Axial view, Slice index 111
FLAIR magnetic resonance.
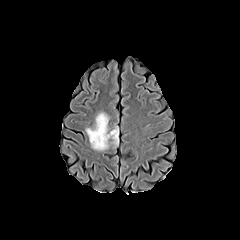
T1-weighted magnetic resonance.
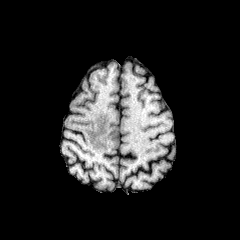
Post-contrast T1-weighted MR.
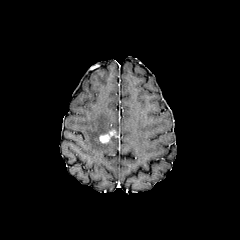
T2-weighted MRI.
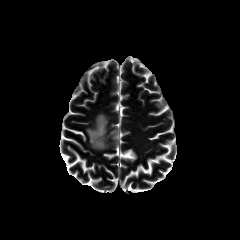
<segmentation>
  <peritumoral_edema>(86, 112, 118, 150)</peritumoral_edema>
  <enhancing_tumor>(99, 130, 116, 143)</enhancing_tumor>
</segmentation>